Axial slice, Head
FLAIR magnetic resonance.
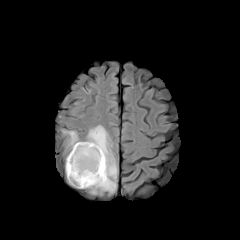
T1-weighted MR image.
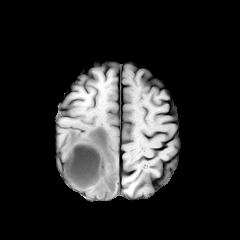
Post-contrast T1-weighted MR.
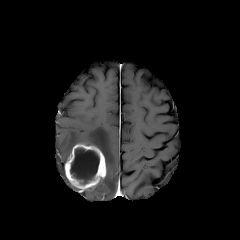
T2-weighted MRI.
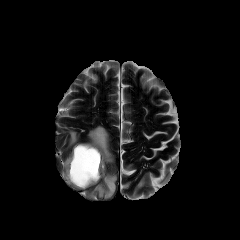
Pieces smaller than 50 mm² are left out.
peritumoral edema — rect(63, 125, 117, 195)
enhancing tumor — rect(65, 143, 106, 189)
necrotic tumor core — rect(70, 148, 99, 184)